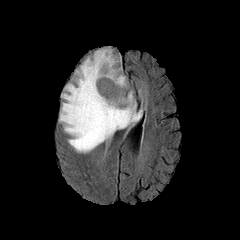
FLAIR magnetic resonance.
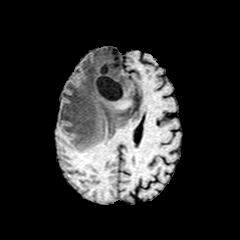
Same slice, T1-weighted magnetic resonance.
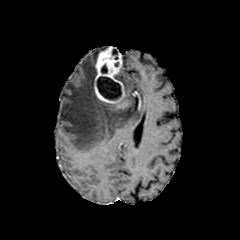
Same slice, post-contrast T1-weighted magnetic resonance.
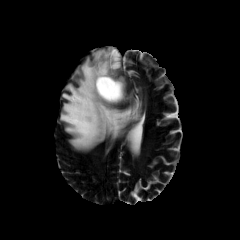
T2-weighted MR.
Axial plane
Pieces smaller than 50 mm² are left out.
peritumoral edema at bbox=[59, 48, 142, 152]; bbox=[116, 73, 126, 87]
necrotic tumor core at bbox=[97, 76, 121, 100]
enhancing tumor at bbox=[94, 46, 125, 103]